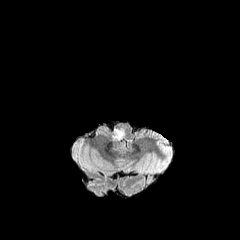
FLAIR MRI.
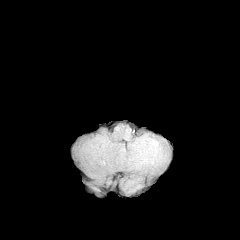
T1-weighted MRI.
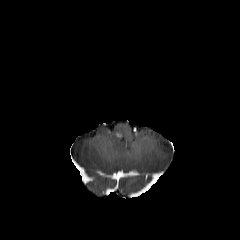
Post-contrast T1-weighted MR.
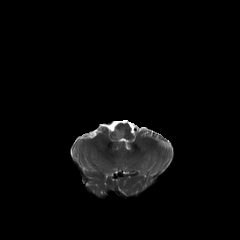
Same slice, T2-weighted magnetic resonance.
Brain; Axial view
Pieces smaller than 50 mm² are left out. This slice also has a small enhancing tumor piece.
peritumoral_edema:
  - [x1=111, y1=127, x2=125, y2=141]